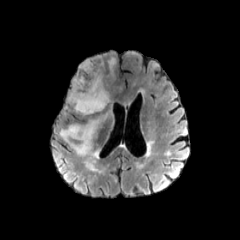
FLAIR magnetic resonance.
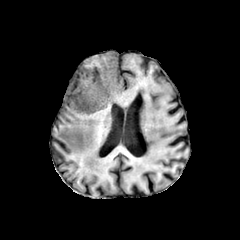
Same slice, T1-weighted MR.
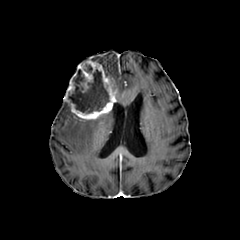
Post-contrast T1-weighted MR image.
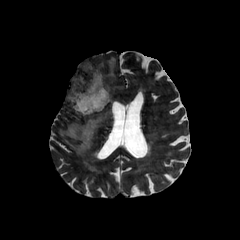
Same slice, T2-weighted magnetic resonance.
Axial slice; Brain
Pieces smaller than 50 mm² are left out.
The enhancing tumor is bounded by bbox=[64, 59, 117, 119]. 2 necrotic tumor core regions are located at bbox=[85, 64, 92, 72]; bbox=[68, 69, 109, 113]. The 2 largest peritumoral edema regions are bounded by bbox=[60, 114, 106, 157]; bbox=[107, 57, 115, 76].